FLAIR magnetic resonance.
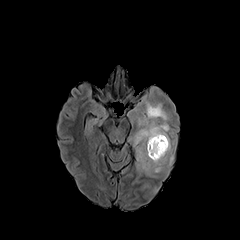
T1-weighted MRI.
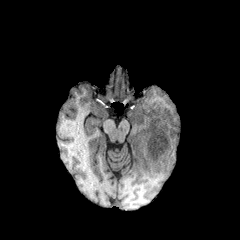
Post-contrast T1-weighted MR image.
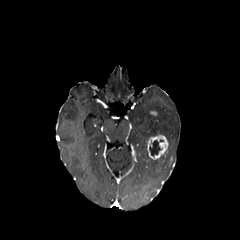
T2-weighted MRI.
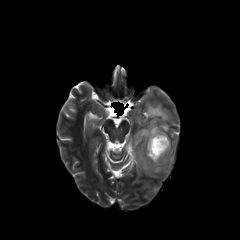
240x240
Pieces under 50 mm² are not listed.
The largest necrotic tumor core region appears at 149,140,161,155. The peritumoral edema is at 132,88,176,198. The largest enhancing tumor region is located at 147,134,168,159.